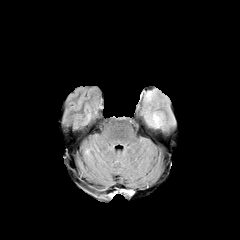
FLAIR MR.
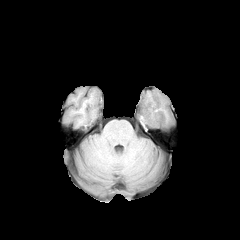
T1-weighted magnetic resonance.
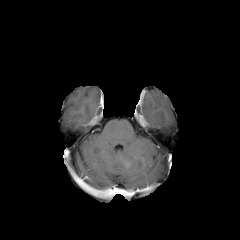
Post-contrast T1-weighted MR image.
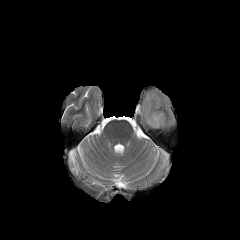
T2-weighted MRI of the same slice.
Axial slice
peritumoral edema: (146, 112, 164, 127)